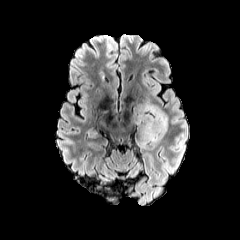
FLAIR MRI.
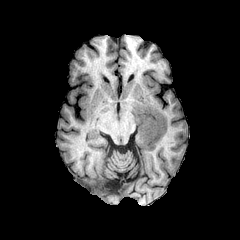
Same slice, T1-weighted magnetic resonance.
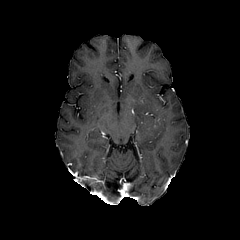
Same slice, post-contrast T1-weighted MR.
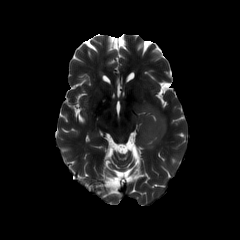
T2-weighted MRI of the same slice.
The peritumoral edema lies within bbox=[133, 100, 168, 149].